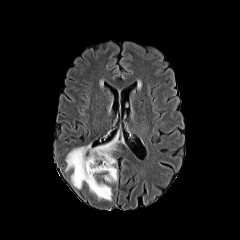
FLAIR MR image.
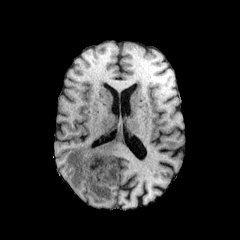
Same slice, T1-weighted MR image.
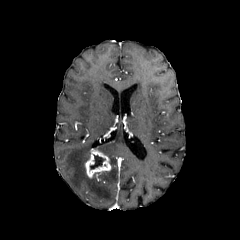
Post-contrast T1-weighted MRI.
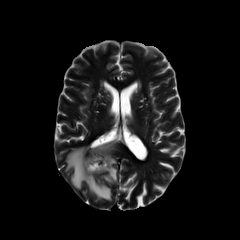
Same slice, T2-weighted MR.
Brain. Axial plane.
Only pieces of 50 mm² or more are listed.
peritumoral edema: [93, 137, 118, 182], [65, 142, 112, 200] | necrotic tumor core: [90, 155, 105, 169] | enhancing tumor: [85, 149, 111, 178]